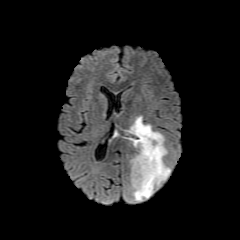
FLAIR MR.
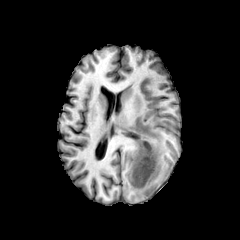
Same slice, T1-weighted MR.
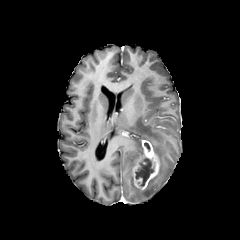
Post-contrast T1-weighted MR image of the same slice.
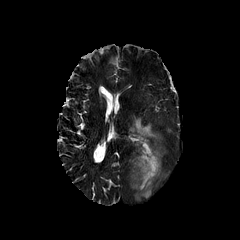
Same slice, T2-weighted MRI.
Axial slice. 240x240 px.
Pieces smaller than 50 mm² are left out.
necrotic tumor core at bbox=[135, 158, 153, 186]
enhancing tumor at bbox=[132, 140, 159, 189]
peritumoral edema at bbox=[128, 116, 170, 201]